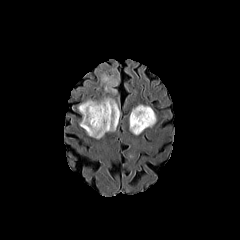
FLAIR MR image.
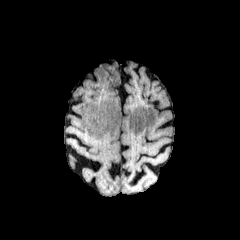
T1-weighted MR image of the same slice.
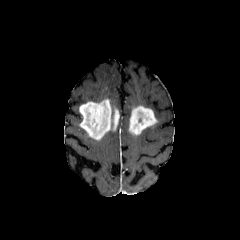
Post-contrast T1-weighted MR of the same slice.
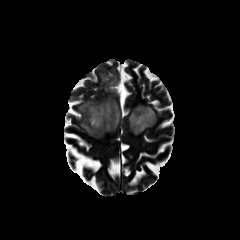
Same slice, T2-weighted MR.
240x240; Head; Axial plane
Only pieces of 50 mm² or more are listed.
{"peritumoral_edema": ["x1=77, y1=97, x2=118, y2=109", "x1=101, y1=73, x2=119, y2=93"], "enhancing_tumor": ["x1=79, y1=99, x2=119, y2=139", "x1=129, y1=106, x2=157, y2=135"]}